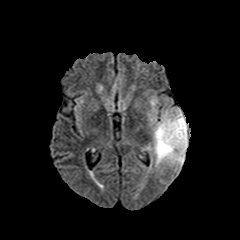
FLAIR MR.
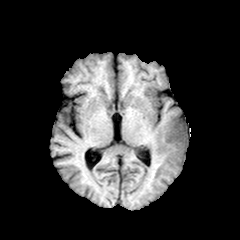
T1-weighted MRI of the same slice.
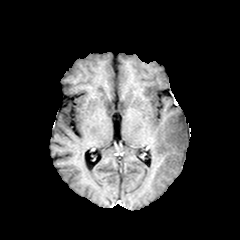
Post-contrast T1-weighted MRI.
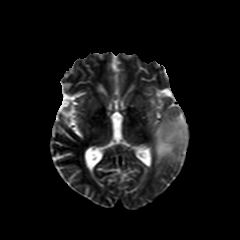
Same slice, T2-weighted MR.
Head
Annotated regions:
- peritumoral edema: region(153, 108, 187, 165)